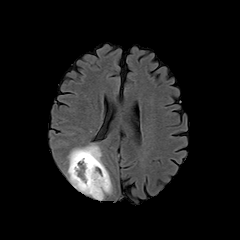
FLAIR MR image.
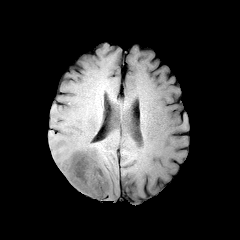
Same slice, T1-weighted MR.
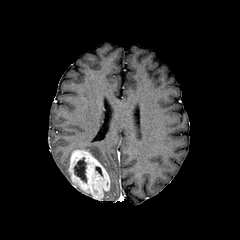
Post-contrast T1-weighted MRI of the same slice.
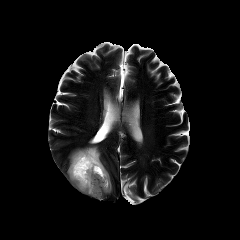
Same slice, T2-weighted MR.
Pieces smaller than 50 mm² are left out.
peritumoral edema at (x1=68, y1=144, x2=104, y2=167), (x1=67, y1=170, x2=91, y2=195)
necrotic tumor core at (x1=74, y1=158, x2=86, y2=182)
enhancing tumor at (x1=68, y1=150, x2=110, y2=198)